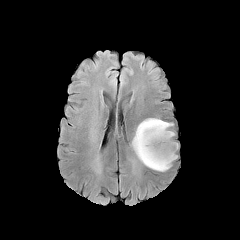
FLAIR MRI.
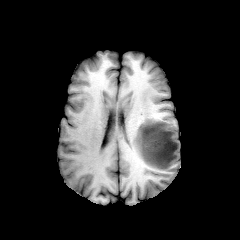
Same slice, T1-weighted MR.
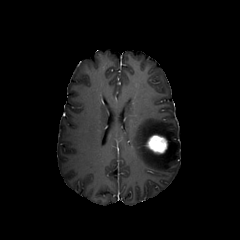
Post-contrast T1-weighted magnetic resonance.
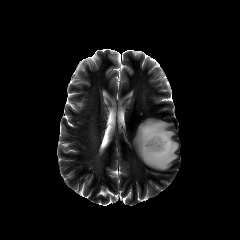
T2-weighted MR.
The peritumoral edema is bounded by box(132, 118, 178, 171). The enhancing tumor is located at box(145, 134, 167, 154).